FLAIR MR image.
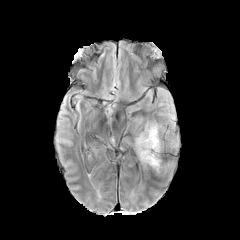
T1-weighted MR.
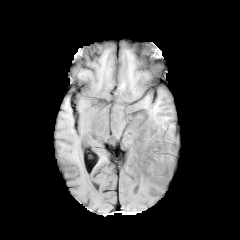
Post-contrast T1-weighted MR.
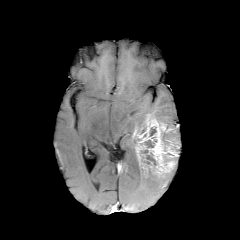
T2-weighted MR.
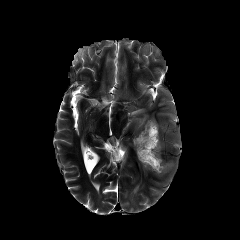
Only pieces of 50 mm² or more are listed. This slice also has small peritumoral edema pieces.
Findings:
• necrotic tumor core: l=143, t=155, r=156, b=165; l=145, t=140, r=153, b=147
• enhancing tumor: l=133, t=118, r=178, b=175